Axial view. Slice index 115. 240x240 px. Brain.
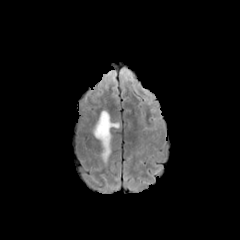
FLAIR MR image.
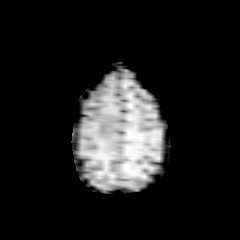
T1-weighted MRI.
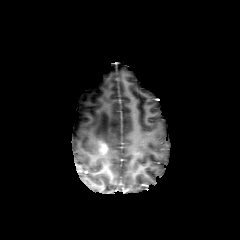
Post-contrast T1-weighted MR of the same slice.
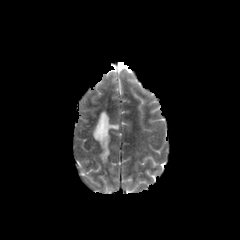
T2-weighted MRI.
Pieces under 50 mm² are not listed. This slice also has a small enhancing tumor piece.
<segmentation>
  <peritumoral_edema><box>94,111,119,161</box></peritumoral_edema>
</segmentation>